Slice 90 of 155. Axial plane.
FLAIR magnetic resonance.
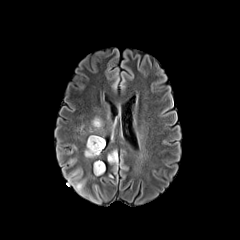
T1-weighted MR image.
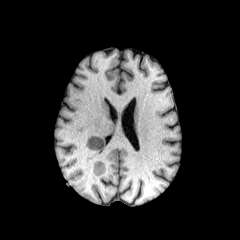
Post-contrast T1-weighted MR image.
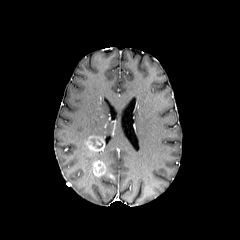
T2-weighted MR image.
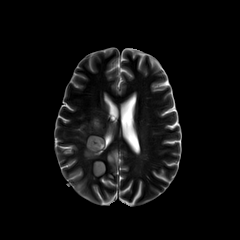
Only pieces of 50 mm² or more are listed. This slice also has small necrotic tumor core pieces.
<segmentation>
  <peritumoral_edema>box(93, 118, 101, 128); box(108, 150, 117, 164); box(85, 147, 99, 156)</peritumoral_edema>
  <enhancing_tumor>box(86, 136, 104, 153); box(93, 161, 105, 175)</enhancing_tumor>
</segmentation>